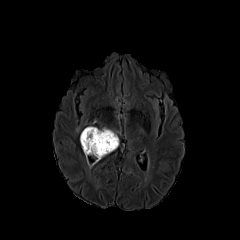
FLAIR MR image.
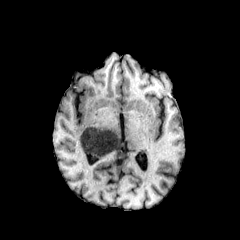
Same slice, T1-weighted MR image.
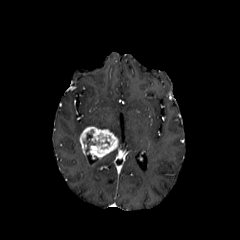
Same slice, post-contrast T1-weighted MRI.
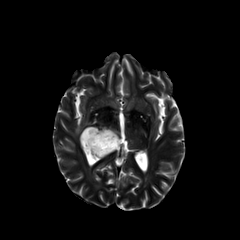
T2-weighted MR image.
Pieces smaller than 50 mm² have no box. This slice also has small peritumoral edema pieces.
enhancing tumor: (79, 126, 118, 166)
necrotic tumor core: (83, 133, 95, 152)